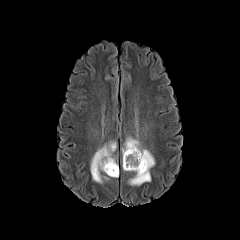
FLAIR MRI.
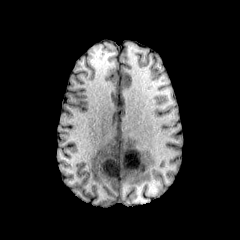
T1-weighted MRI.
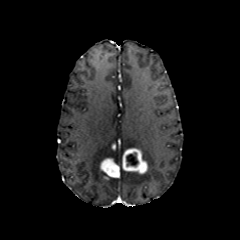
Same slice, post-contrast T1-weighted magnetic resonance.
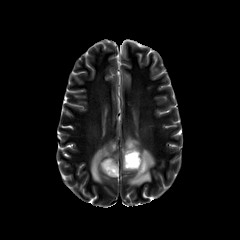
T2-weighted magnetic resonance of the same slice.
Image size 240x240. Axial plane. Brain.
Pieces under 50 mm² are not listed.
peritumoral edema: [x1=90, y1=140, x2=117, y2=183], [x1=121, y1=134, x2=155, y2=185]
necrotic tumor core: [x1=126, y1=154, x2=137, y2=165]
enhancing tumor: [x1=122, y1=148, x2=147, y2=174], [x1=100, y1=158, x2=119, y2=179]